Slice 81/155; Axial slice
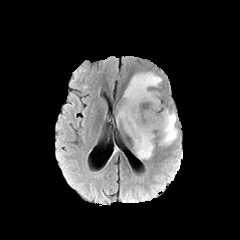
FLAIR MRI.
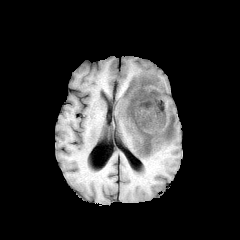
T1-weighted MRI.
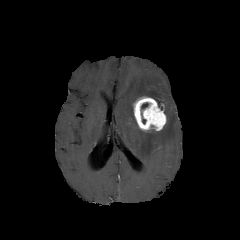
Same slice, post-contrast T1-weighted MR.
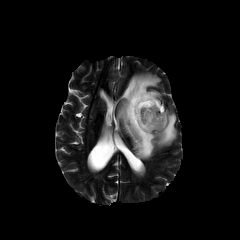
T2-weighted MR image.
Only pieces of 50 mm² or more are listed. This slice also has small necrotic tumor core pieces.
enhancing tumor at box=[132, 96, 166, 131]
peritumoral edema at box=[116, 72, 178, 159]